FLAIR MR.
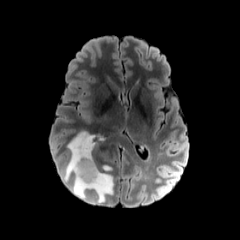
T1-weighted MR image.
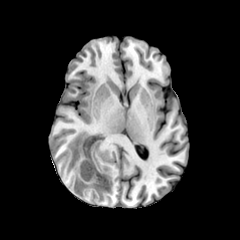
Post-contrast T1-weighted MRI.
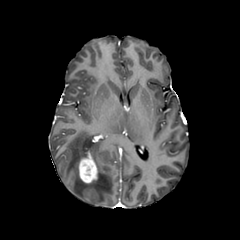
T2-weighted magnetic resonance.
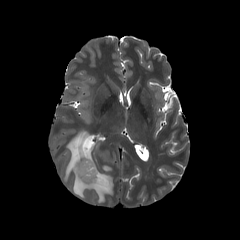
240x240
The peritumoral edema lies within box(64, 131, 113, 203). The enhancing tumor is bounded by box(78, 150, 98, 183).